FLAIR MR image.
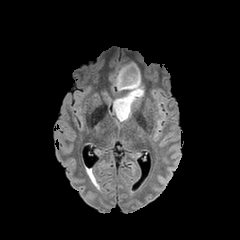
T1-weighted MRI.
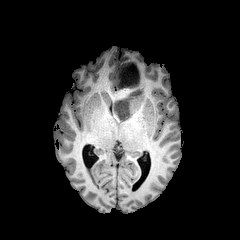
Post-contrast T1-weighted magnetic resonance.
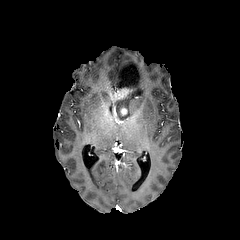
T2-weighted magnetic resonance.
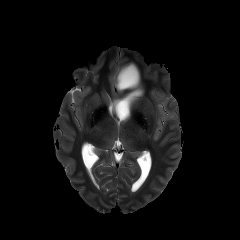
Axial slice
Annotated regions:
* peritumoral edema: x1=113, y1=89, x2=144, y2=121; x1=116, y1=62, x2=141, y2=88
* enhancing tumor: x1=120, y1=107, x2=127, y2=115